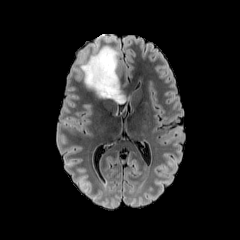
FLAIR magnetic resonance.
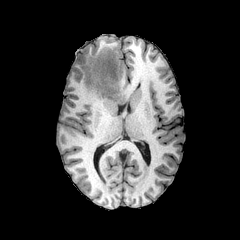
T1-weighted magnetic resonance.
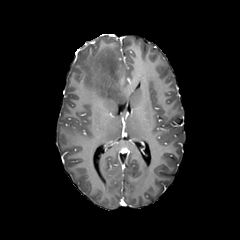
Post-contrast T1-weighted MR.
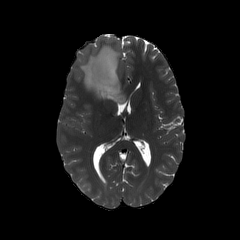
Same slice, T2-weighted MR image.
Head
peritumoral edema: bounding box x1=80 y1=46 x2=125 y2=103